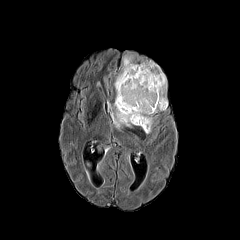
FLAIR MR image.
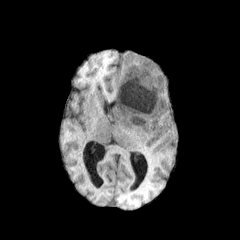
Same slice, T1-weighted MRI.
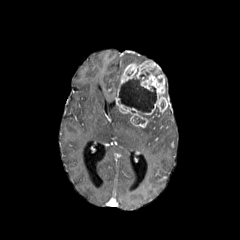
Post-contrast T1-weighted MRI.
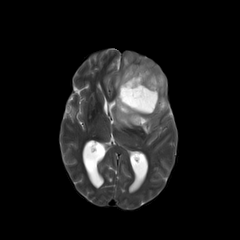
T2-weighted MR.
Axial plane, Head
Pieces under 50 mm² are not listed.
The largest enhancing tumor region is located at box=[115, 60, 167, 127]. The largest necrotic tumor core region is at box=[118, 71, 156, 112]. The 3 largest peritumoral edema regions are bounded by box=[114, 55, 132, 90]; box=[109, 103, 131, 128]; box=[143, 116, 152, 133].